FLAIR MR.
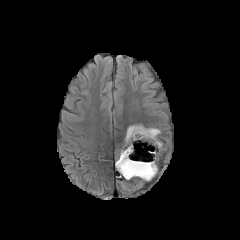
T1-weighted MRI.
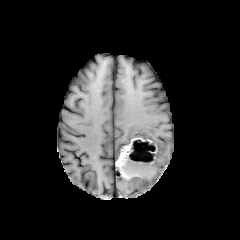
Post-contrast T1-weighted MRI.
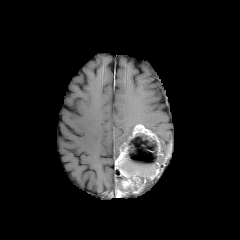
T2-weighted MR.
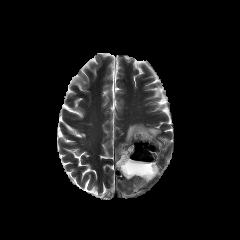
Head.
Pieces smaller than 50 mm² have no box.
necrotic tumor core — (122,134,159,183)
peritumoral edema — (146,127,160,136), (125,124,137,142)
enhancing tumor — (147,162,159,179), (115,124,160,188)